FLAIR MR.
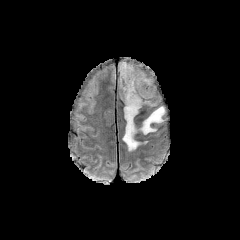
T1-weighted magnetic resonance.
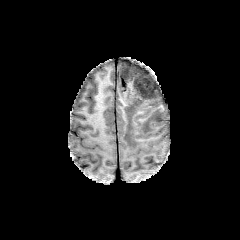
Post-contrast T1-weighted magnetic resonance.
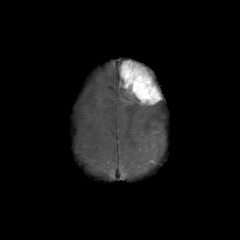
T2-weighted magnetic resonance.
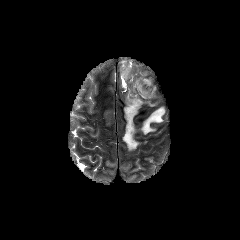
Image size 240x240; Axial plane
enhancing_tumor:
  - bbox=[118, 60, 161, 105]
peritumoral_edema:
  - bbox=[141, 107, 164, 134]
  - bbox=[120, 86, 164, 150]